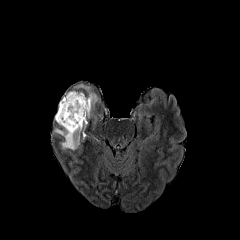
FLAIR MRI.
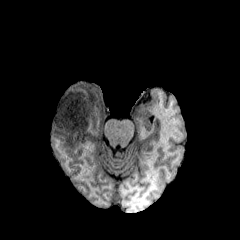
Same slice, T1-weighted MR image.
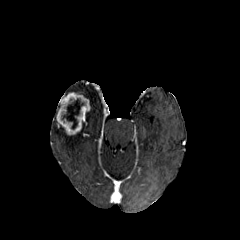
Same slice, post-contrast T1-weighted MRI.
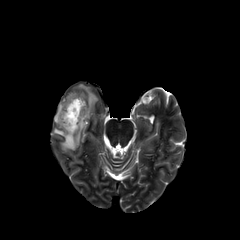
T2-weighted MR.
Head; 240x240; Axial slice
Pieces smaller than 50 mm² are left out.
The 2 largest peritumoral edema regions are bounded by [69,84,98,118], [53,127,80,151]. The largest enhancing tumor region appears at [56,92,90,135]. The largest necrotic tumor core region is at [62,99,84,129].